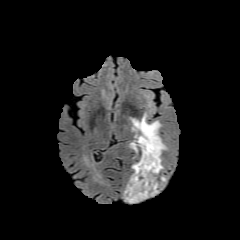
FLAIR MR.
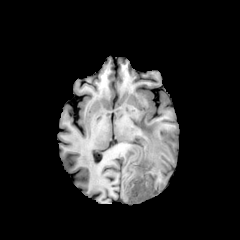
T1-weighted MR.
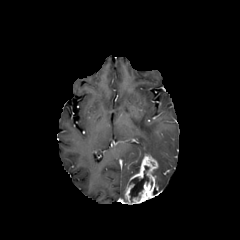
Post-contrast T1-weighted magnetic resonance of the same slice.
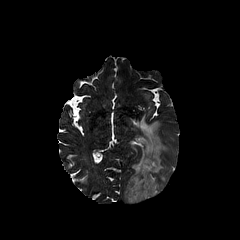
T2-weighted MRI of the same slice.
Brain
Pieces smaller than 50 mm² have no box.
{"enhancing_tumor": ["rect(125, 154, 158, 204)"], "peritumoral_edema": ["rect(131, 114, 167, 175)"], "necrotic_tumor_core": ["rect(129, 166, 149, 201)"]}